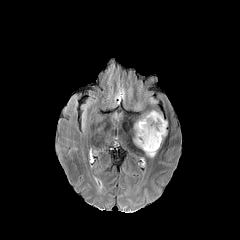
FLAIR magnetic resonance.
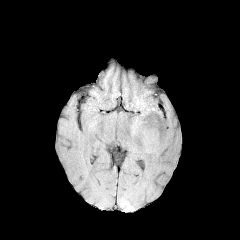
T1-weighted MR.
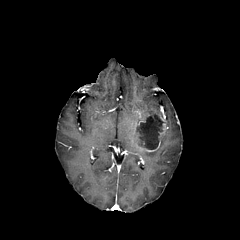
Post-contrast T1-weighted MR.
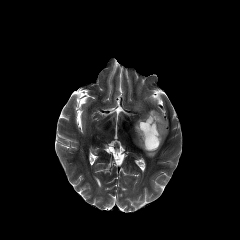
Same slice, T2-weighted MR image.
240x240, Axial plane, Brain
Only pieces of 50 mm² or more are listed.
peritumoral_edema:
  - rect(146, 150, 156, 157)
necrotic_tumor_core:
  - rect(136, 115, 163, 149)
enhancing_tumor:
  - rect(138, 113, 167, 151)
  - rect(135, 117, 145, 145)